Head; 240x240 px; Slice index 113
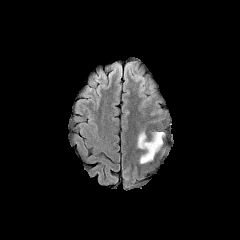
FLAIR MR image.
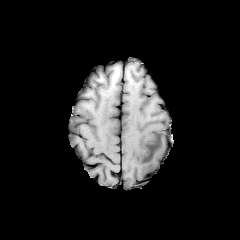
T1-weighted MR.
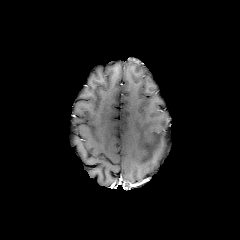
Post-contrast T1-weighted MR image.
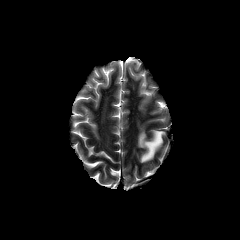
Same slice, T2-weighted MR.
<segmentation>
  <peritumoral_edema>(137,131,164,163)</peritumoral_edema>
</segmentation>